Axial slice | Image size 240x240 | Head
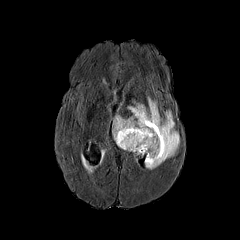
FLAIR MR.
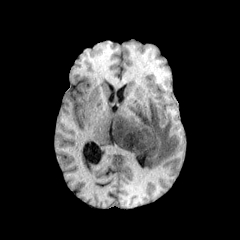
Same slice, T1-weighted magnetic resonance.
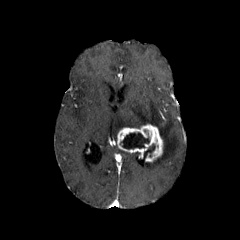
Post-contrast T1-weighted magnetic resonance of the same slice.
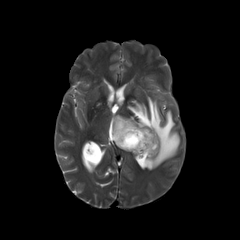
T2-weighted MR image of the same slice.
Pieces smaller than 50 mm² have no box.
<segmentation>
  <necrotic_tumor_core>147, 144, 155, 156; 121, 133, 149, 149</necrotic_tumor_core>
  <peritumoral_edema>113, 97, 179, 169</peritumoral_edema>
  <enhancing_tumor>116, 123, 163, 162</enhancing_tumor>
</segmentation>